FLAIR MRI.
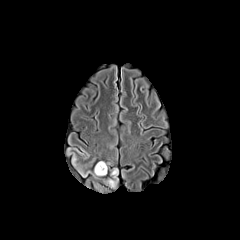
T1-weighted magnetic resonance.
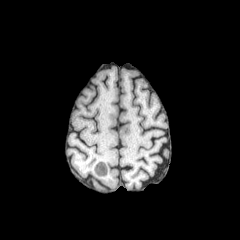
Post-contrast T1-weighted MR.
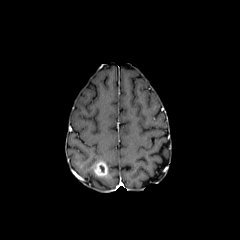
T2-weighted MRI.
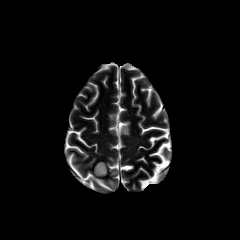
240x240
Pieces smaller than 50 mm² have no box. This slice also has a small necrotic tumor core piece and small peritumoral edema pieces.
enhancing_tumor:
  - l=94, t=161, r=107, b=176